Axial plane. Brain. Image size 240x240.
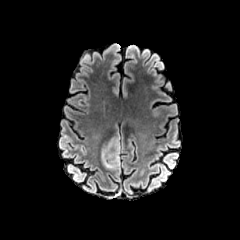
FLAIR magnetic resonance.
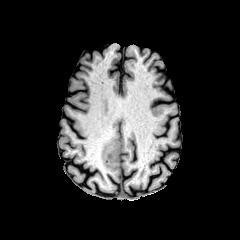
T1-weighted MRI.
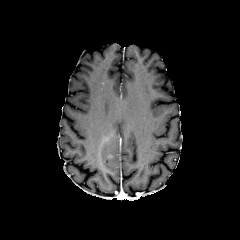
Same slice, post-contrast T1-weighted MR.
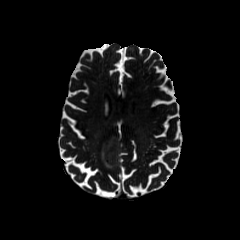
Same slice, T2-weighted magnetic resonance.
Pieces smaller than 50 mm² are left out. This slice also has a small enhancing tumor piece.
peritumoral edema: <box>101,131,120,170</box>